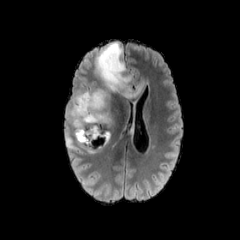
FLAIR MR image.
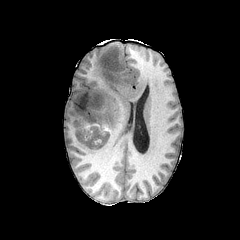
T1-weighted MRI.
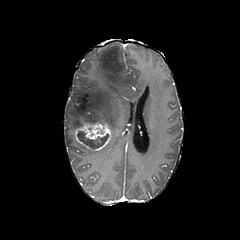
Same slice, post-contrast T1-weighted MR.
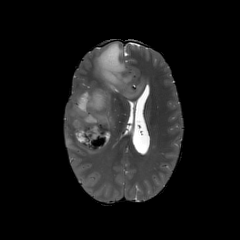
Same slice, T2-weighted MR.
Brain. 240x240 px. Axial plane.
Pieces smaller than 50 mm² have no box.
<segmentation>
  <necrotic_tumor_core>77,131,108,148</necrotic_tumor_core>
  <peritumoral_edema>64,42,148,154</peritumoral_edema>
  <enhancing_tumor>74,123,110,150</enhancing_tumor>
</segmentation>